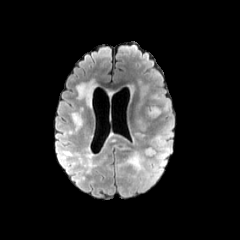
FLAIR MRI.
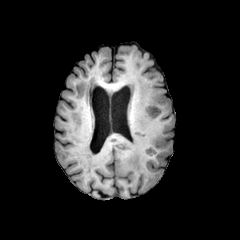
T1-weighted MRI of the same slice.
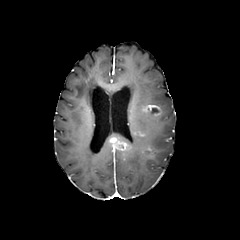
Same slice, post-contrast T1-weighted MR image.
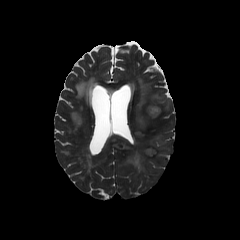
T2-weighted MR of the same slice.
Head. Axial view.
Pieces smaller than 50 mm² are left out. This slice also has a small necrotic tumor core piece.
The 4 largest peritumoral edema regions appear at bbox(137, 105, 150, 133); bbox(126, 152, 143, 171); bbox(155, 135, 164, 144); bbox(145, 147, 155, 156). 2 enhancing tumor regions are located at bbox(110, 138, 127, 150); bbox(142, 104, 161, 118).